FLAIR MR.
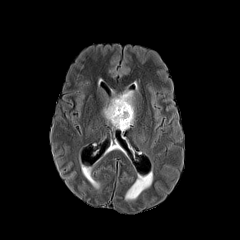
T1-weighted MR image.
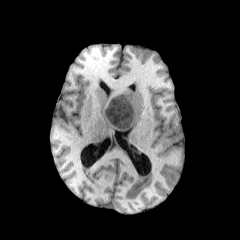
Post-contrast T1-weighted MR.
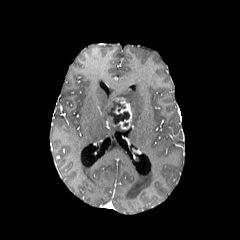
T2-weighted MRI.
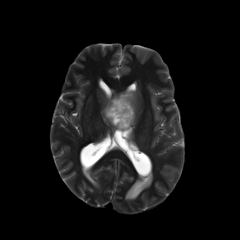
240x240 | Head
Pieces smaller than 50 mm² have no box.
necrotic tumor core: 107 102 129 124
enhancing tumor: 107 97 133 129
peritumoral edema: 118 91 134 124, 104 100 114 118